FLAIR MR image.
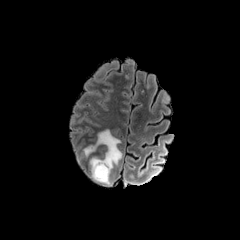
T1-weighted MR.
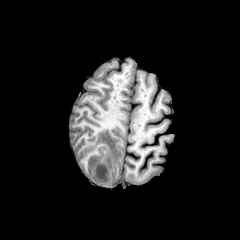
Post-contrast T1-weighted MR image.
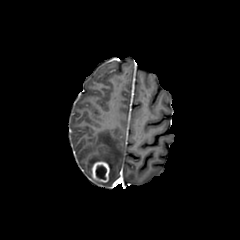
T2-weighted MR image.
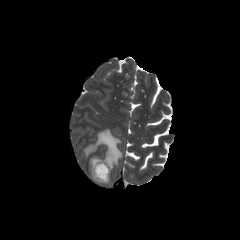
Head. Axial plane. Image size 240x240.
necrotic tumor core at left=95, top=165, right=106, bottom=179
enhancing tumor at left=91, top=161, right=109, bottom=182
peritumoral edema at left=83, top=129, right=122, bottom=186